Image covers 240 mm x 240 mm
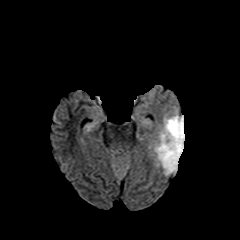
FLAIR MRI.
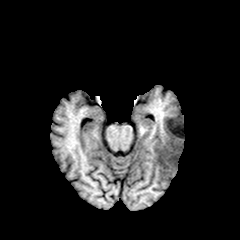
Same slice, T1-weighted MRI.
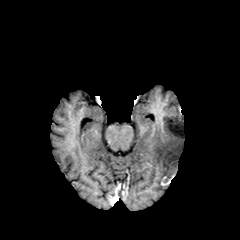
Post-contrast T1-weighted magnetic resonance.
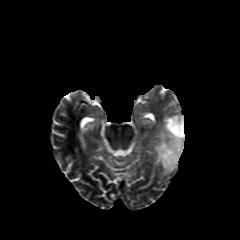
T2-weighted MR.
{
  "peritumoral_edema": [
    "bbox=[154, 110, 184, 174]"
  ]
}